FLAIR MR image.
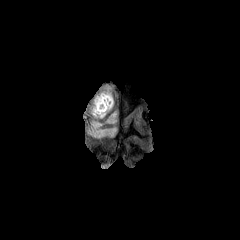
T1-weighted MRI.
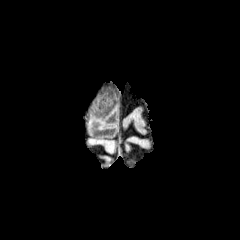
Post-contrast T1-weighted MR image.
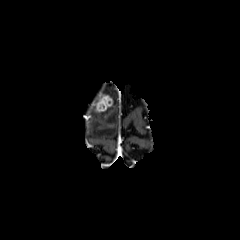
T2-weighted magnetic resonance.
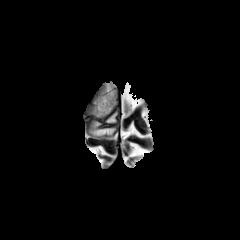
Axial slice | Brain
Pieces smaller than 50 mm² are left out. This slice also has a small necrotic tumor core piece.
enhancing tumor: <box>95,93,112,112</box> | peritumoral edema: <box>88,99,116,138</box>, <box>103,86,112,98</box>, <box>105,111,117,123</box>